FLAIR MR image.
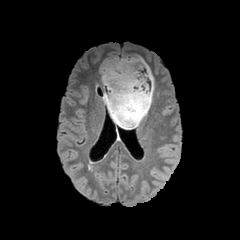
T1-weighted magnetic resonance.
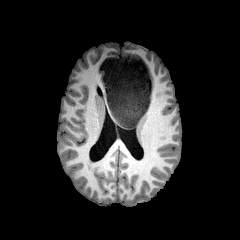
Post-contrast T1-weighted MRI.
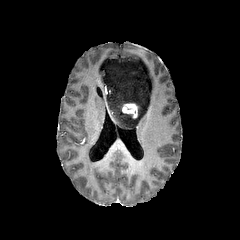
T2-weighted MR image.
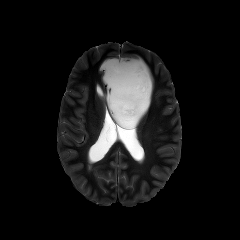
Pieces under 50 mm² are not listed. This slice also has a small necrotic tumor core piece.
peritumoral edema at 100,56,154,127
enhancing tumor at 122,103,138,118